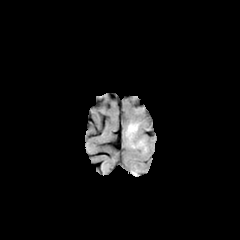
FLAIR magnetic resonance.
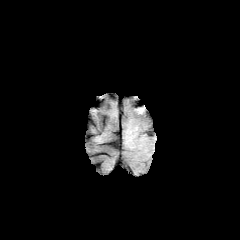
Same slice, T1-weighted MRI.
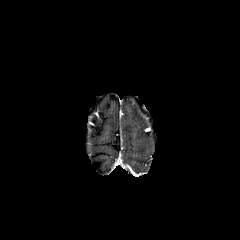
Post-contrast T1-weighted magnetic resonance.
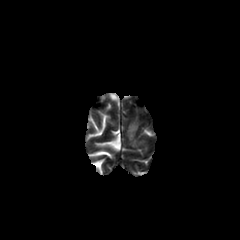
Same slice, T2-weighted MRI.
Annotated regions:
- peritumoral edema: [125,122,147,151]